Head
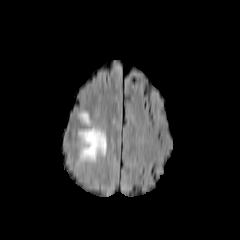
FLAIR MR image.
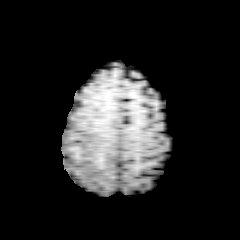
Same slice, T1-weighted MRI.
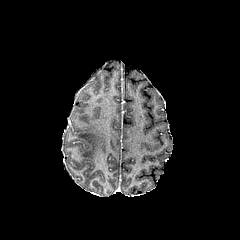
Post-contrast T1-weighted MR image.
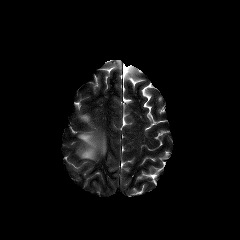
T2-weighted magnetic resonance.
Findings:
* peritumoral edema: rect(80, 113, 90, 123); rect(79, 126, 106, 160)